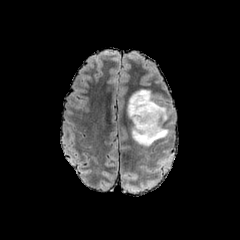
FLAIR MR image.
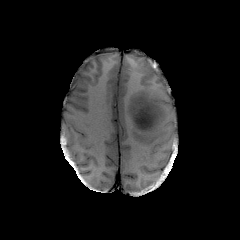
T1-weighted MR image of the same slice.
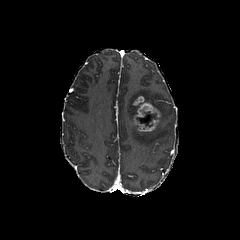
Same slice, post-contrast T1-weighted MR.
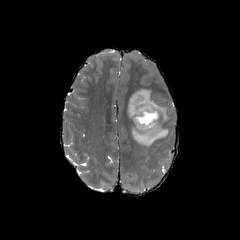
T2-weighted MRI of the same slice.
Head
The enhancing tumor lies within (133,96,160,131). The peritumoral edema is at (127,89,168,146). The necrotic tumor core lies within (136,112,155,126).